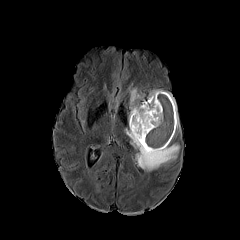
FLAIR MR.
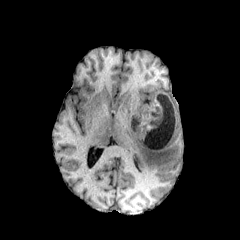
T1-weighted magnetic resonance of the same slice.
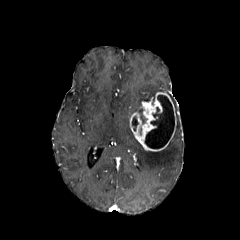
Post-contrast T1-weighted MR image of the same slice.
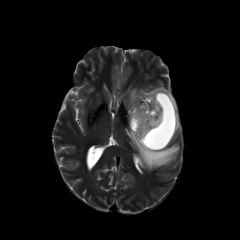
T2-weighted magnetic resonance of the same slice.
Head, Axial slice
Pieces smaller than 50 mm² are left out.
enhancing tumor: bounding box <bbox>129, 92, 176, 151</bbox>
necrotic tumor core: bounding box <bbox>132, 117, 138, 130</bbox>, <bbox>145, 95, 174, 148</bbox>
peritumoral edema: bounding box <bbox>129, 88, 145, 123</bbox>, <bbox>147, 89, 164, 103</bbox>, <bbox>125, 128, 179, 171</bbox>, <bbox>169, 94, 179, 130</bbox>